Slice 74 of 155. Axial plane. Head.
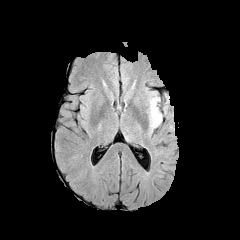
FLAIR MR.
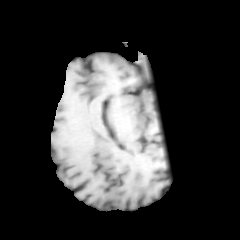
Same slice, T1-weighted MR image.
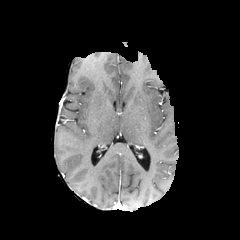
Post-contrast T1-weighted magnetic resonance.
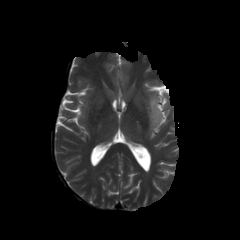
T2-weighted MR image.
The peritumoral edema lies within left=148, top=93, right=161, bottom=130.